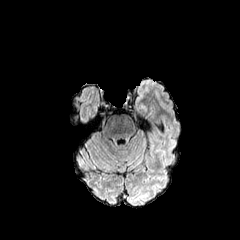
FLAIR magnetic resonance.
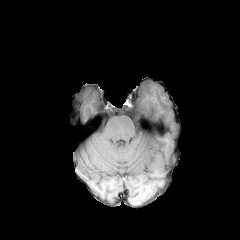
T1-weighted MRI of the same slice.
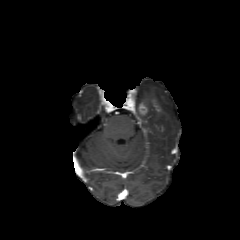
Post-contrast T1-weighted MR image.
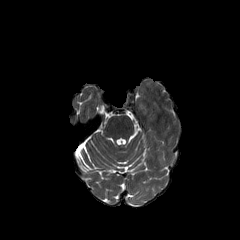
T2-weighted magnetic resonance.
Head
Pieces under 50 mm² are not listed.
enhancing_tumor:
  - (x1=138, y1=103, x2=147, y2=116)